Slice 40/155, 240x240 px
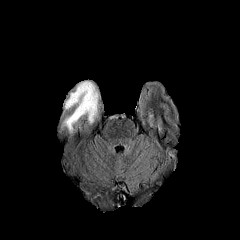
FLAIR MR image.
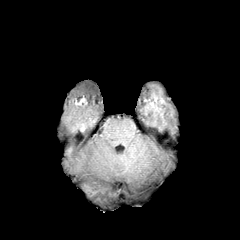
T1-weighted MR of the same slice.
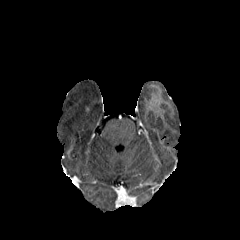
Post-contrast T1-weighted MR image.
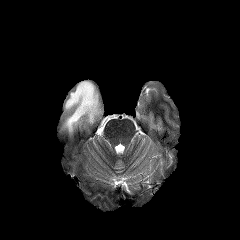
T2-weighted MR image of the same slice.
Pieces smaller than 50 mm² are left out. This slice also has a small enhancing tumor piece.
The peritumoral edema lies within 63, 81, 99, 133.